Axial view | 240x240 | Brain | Slice 85/155
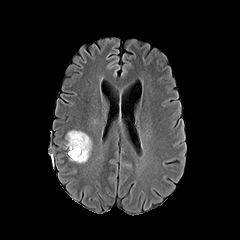
FLAIR MR image.
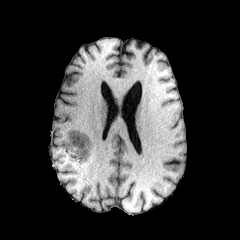
T1-weighted MRI.
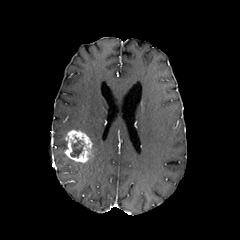
Post-contrast T1-weighted MR image of the same slice.
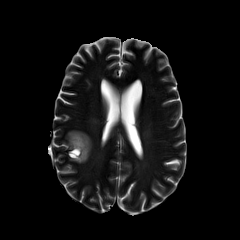
Same slice, T2-weighted MR.
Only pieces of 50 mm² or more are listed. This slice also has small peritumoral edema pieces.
<segmentation>
  <necrotic_tumor_core>x1=70 y1=138 x2=83 y2=157</necrotic_tumor_core>
  <enhancing_tumor>x1=65 y1=130 x2=92 y2=162</enhancing_tumor>
</segmentation>